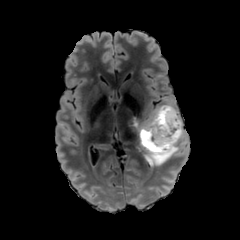
FLAIR MRI.
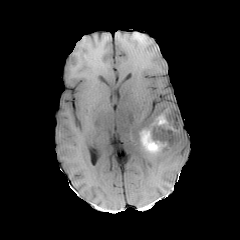
T1-weighted magnetic resonance.
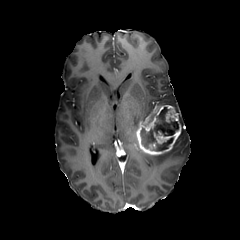
Post-contrast T1-weighted MR image of the same slice.
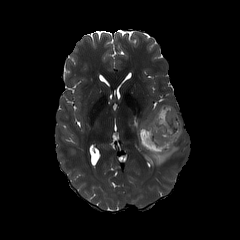
Same slice, T2-weighted MRI.
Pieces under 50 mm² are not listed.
{
  "peritumoral_edema": [
    "x1=141 y1=128 x2=184 y2=166",
    "x1=133 y1=120 x2=139 y2=143"
  ],
  "necrotic_tumor_core": [
    "x1=141 y1=107 x2=178 y2=150"
  ],
  "enhancing_tumor": [
    "x1=135 y1=104 x2=182 y2=155"
  ]
}